Slice 63 of 155. Brain.
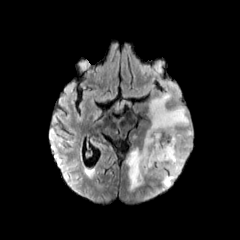
FLAIR MR.
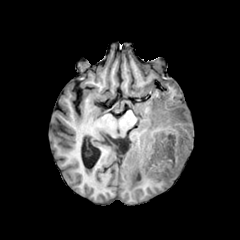
T1-weighted magnetic resonance.
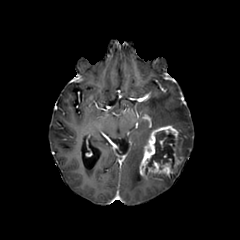
Post-contrast T1-weighted MR image.
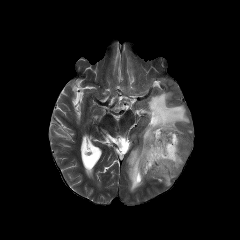
T2-weighted MRI.
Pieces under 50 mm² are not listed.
peritumoral edema: bounding box [126, 93, 189, 191], [158, 129, 192, 192]
necrotic tumor core: bounding box [145, 130, 175, 174]
enhancing tumor: bounding box [139, 125, 183, 181]